Slice 39/155 | Axial slice | 240x240 px
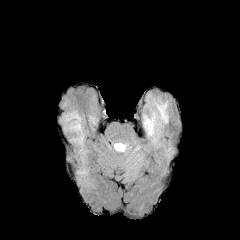
FLAIR MRI.
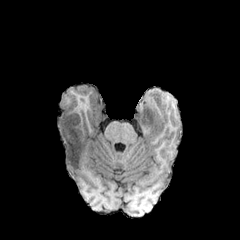
T1-weighted MR.
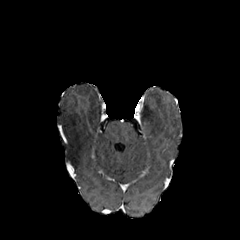
Post-contrast T1-weighted MR image of the same slice.
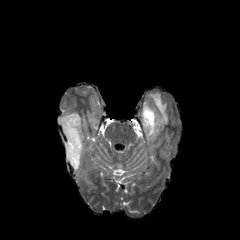
Same slice, T2-weighted MRI.
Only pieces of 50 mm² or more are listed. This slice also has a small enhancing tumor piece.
{"peritumoral_edema": ["[59,100,88,178]", "[142,94,168,135]"]}